Brain; Slice 97/155; 240x240; Axial slice
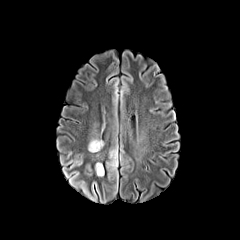
FLAIR MR.
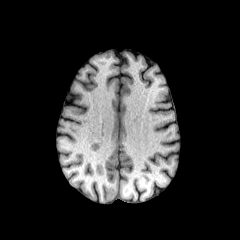
T1-weighted MRI.
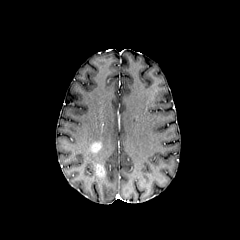
Post-contrast T1-weighted MR.
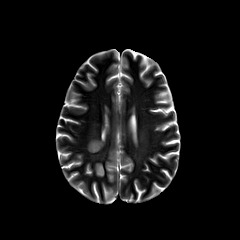
T2-weighted MR image.
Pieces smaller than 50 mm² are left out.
Annotated regions:
- enhancing tumor: 96,164,104,175; 90,142,101,151
- peritumoral edema: 110,150,116,165; 88,140,103,151